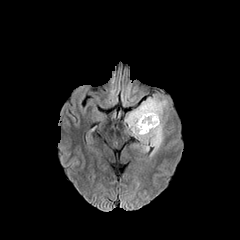
FLAIR MR.
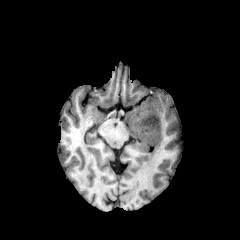
T1-weighted MR.
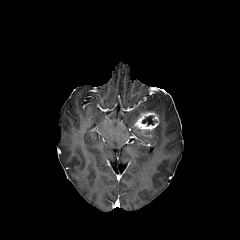
Post-contrast T1-weighted MR image.
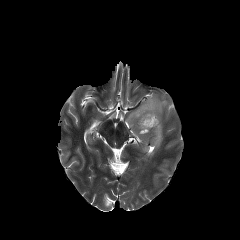
T2-weighted magnetic resonance.
Brain, Image size 240x240
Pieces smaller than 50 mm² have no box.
enhancing tumor — 134,112,159,134
peritumoral edema — 125,95,167,156
necrotic tumor core — 142,115,156,125